FLAIR magnetic resonance.
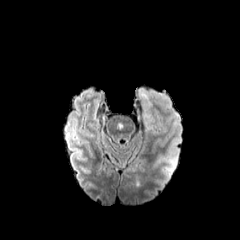
T1-weighted MR image.
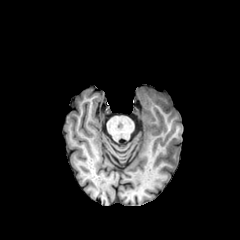
Post-contrast T1-weighted MRI.
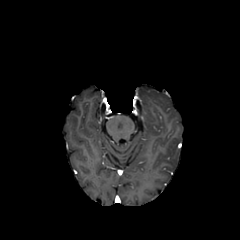
T2-weighted MR image.
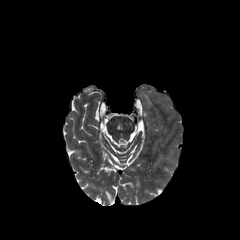
Head
* peritumoral edema: [135, 87, 172, 120]